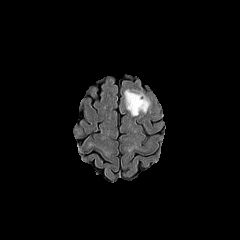
FLAIR MR.
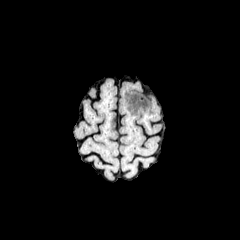
Same slice, T1-weighted magnetic resonance.
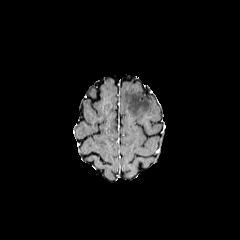
Post-contrast T1-weighted magnetic resonance.
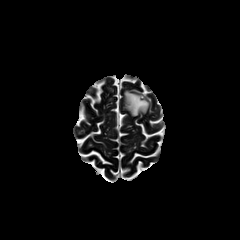
Same slice, T2-weighted magnetic resonance.
Head; Axial slice
peritumoral_edema:
  - 124, 89, 150, 116